FLAIR MRI.
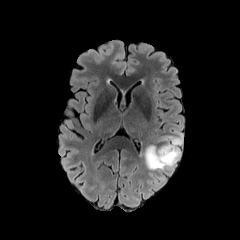
T1-weighted MRI.
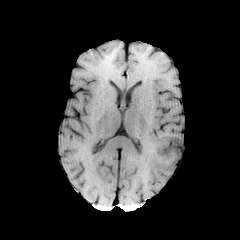
Post-contrast T1-weighted MR.
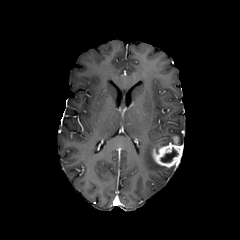
T2-weighted magnetic resonance.
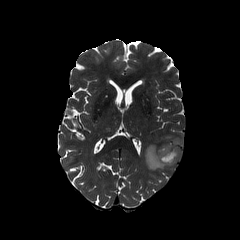
Head
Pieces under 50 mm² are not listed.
{
  "enhancing_tumor": [
    "bbox=[152, 136, 182, 167]"
  ],
  "peritumoral_edema": [
    "bbox=[144, 135, 175, 171]",
    "bbox=[177, 133, 182, 147]"
  ],
  "necrotic_tumor_core": [
    "bbox=[161, 149, 178, 162]"
  ]
}